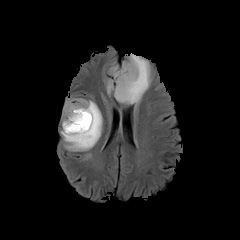
FLAIR MRI.
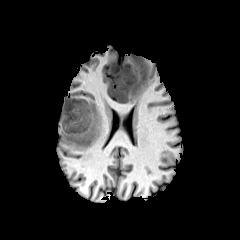
T1-weighted MRI.
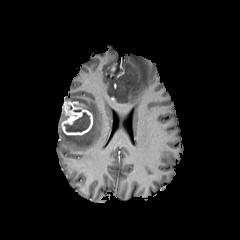
Post-contrast T1-weighted MR image of the same slice.
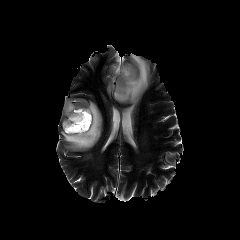
T2-weighted MR image.
Brain.
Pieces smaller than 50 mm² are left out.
The largest necrotic tumor core region lies within rect(64, 112, 90, 131). The largest enhancing tumor region is bounded by rect(61, 100, 92, 135). The 2 largest peritumoral edema regions appear at rect(60, 98, 102, 151); rect(106, 53, 151, 105).